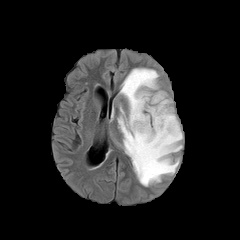
FLAIR MR image.
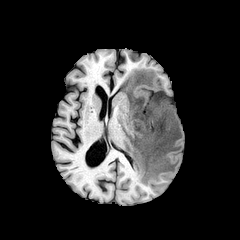
T1-weighted magnetic resonance of the same slice.
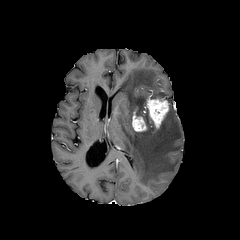
Post-contrast T1-weighted MRI of the same slice.
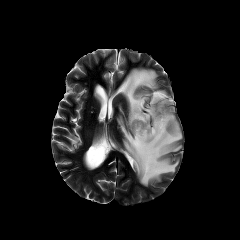
T2-weighted MRI.
Head | 240x240 px
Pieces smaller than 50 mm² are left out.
<segmentation>
  <enhancing_tumor><bbox>132, 112, 146, 131</bbox>, <bbox>145, 95, 168, 127</bbox></enhancing_tumor>
  <peritumoral_edema><bbox>110, 68, 182, 186</bbox></peritumoral_edema>
</segmentation>